FLAIR MRI.
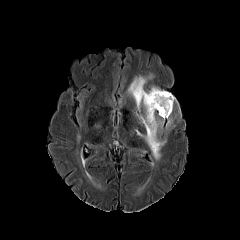
T1-weighted MR.
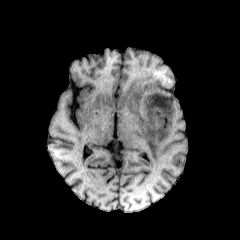
Post-contrast T1-weighted MR image.
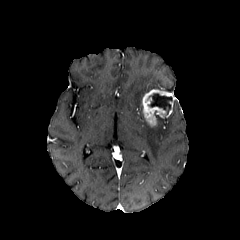
T2-weighted MR.
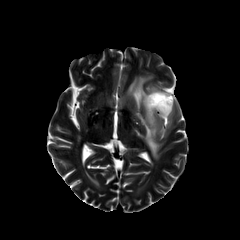
Brain
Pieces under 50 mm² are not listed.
- peritumoral edema: [166, 115, 172, 129], [127, 75, 152, 111], [135, 115, 165, 159]
- enhancing tumor: [142, 89, 175, 126]
- necrotic tumor core: [149, 93, 172, 114]